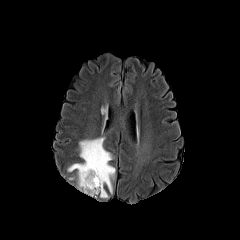
FLAIR MR.
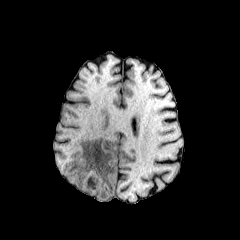
T1-weighted MR image of the same slice.
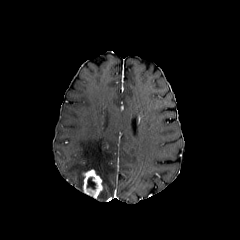
Same slice, post-contrast T1-weighted MR image.
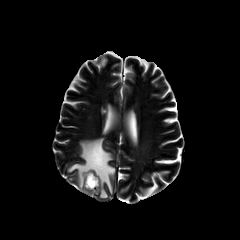
T2-weighted MR.
Brain, Axial slice
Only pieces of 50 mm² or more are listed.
peritumoral edema: {"x1": 67, "y1": 137, "x2": 115, "y2": 198} | enhancing tumor: {"x1": 82, "y1": 169, "x2": 102, "y2": 197} | necrotic tumor core: {"x1": 86, "y1": 174, "x2": 97, "y2": 189}